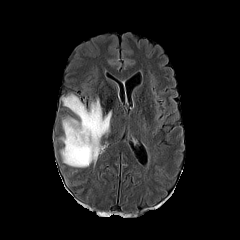
FLAIR MRI.
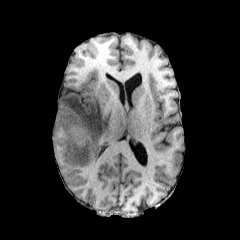
T1-weighted magnetic resonance of the same slice.
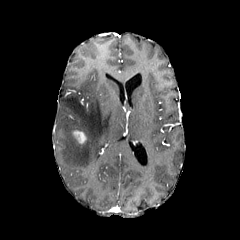
Post-contrast T1-weighted MRI of the same slice.
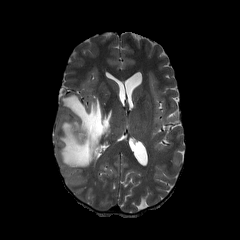
Same slice, T2-weighted MR image.
240x240 px
The enhancing tumor appears at rect(72, 130, 86, 144). The peritumoral edema is located at rect(60, 93, 112, 167).